Slice 75 of 155; Brain; 240x240
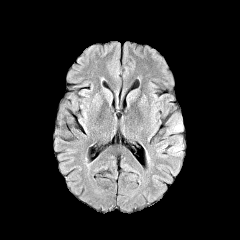
FLAIR MRI.
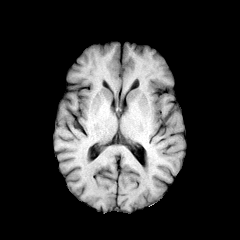
Same slice, T1-weighted MR image.
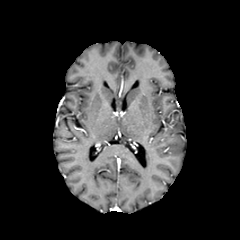
Same slice, post-contrast T1-weighted MRI.
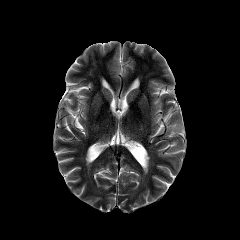
T2-weighted MRI.
- peritumoral edema: [163, 111, 183, 137], [155, 135, 184, 157]